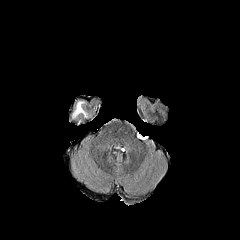
FLAIR MR.
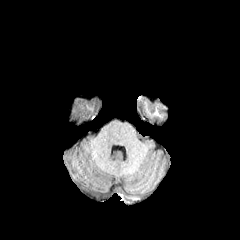
T1-weighted MR of the same slice.
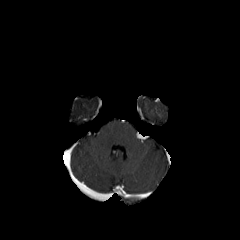
Post-contrast T1-weighted MRI of the same slice.
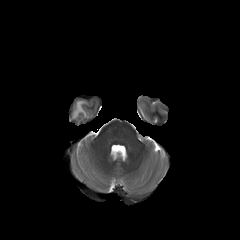
Same slice, T2-weighted MR.
Head
{
  "peritumoral_edema": [
    "72:101:87:118"
  ]
}